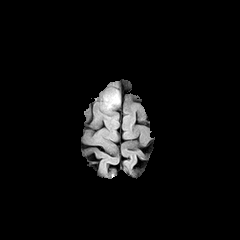
FLAIR MR.
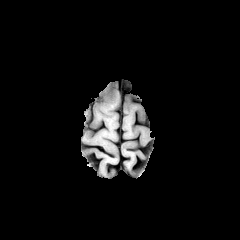
T1-weighted MR.
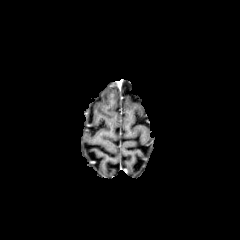
Post-contrast T1-weighted MRI.
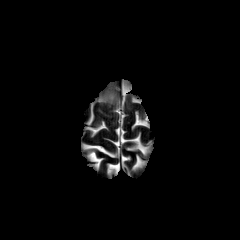
T2-weighted MR image.
peritumoral edema: bounding box (left=103, top=92, right=119, bottom=107)